Image width 240 mm. Slice 88 of 155. Head.
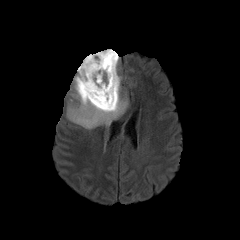
FLAIR MRI.
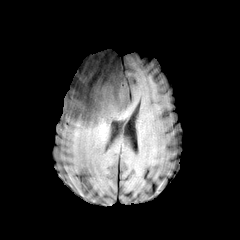
Same slice, T1-weighted MR.
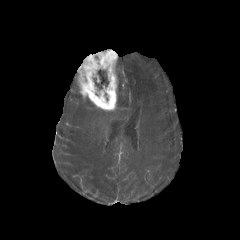
Post-contrast T1-weighted MR image.
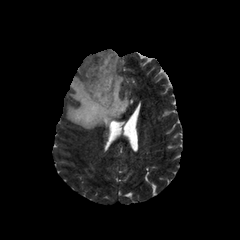
T2-weighted MRI.
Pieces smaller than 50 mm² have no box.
peritumoral_edema:
  - 66, 56, 128, 129
necrotic_tumor_core:
  - 94, 69, 108, 89
enhancing_tumor:
  - 77, 49, 118, 110